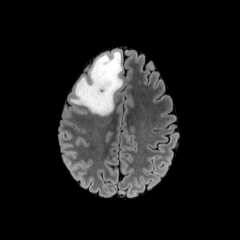
FLAIR MRI.
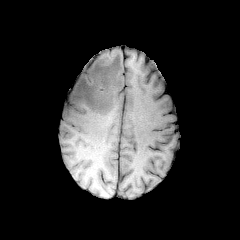
T1-weighted magnetic resonance.
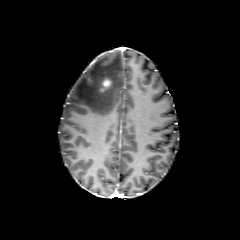
Post-contrast T1-weighted MRI.
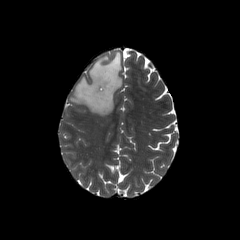
T2-weighted MRI.
Axial view
The enhancing tumor lies within x1=102 y1=78 x2=111 y2=90. The peritumoral edema lies within x1=70 y1=50 x2=122 y2=116.